Head
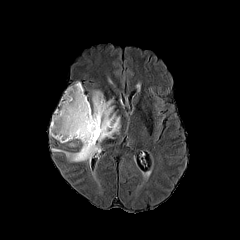
FLAIR magnetic resonance.
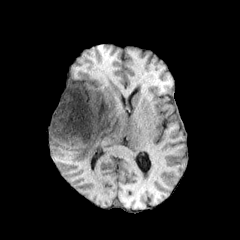
T1-weighted MR image.
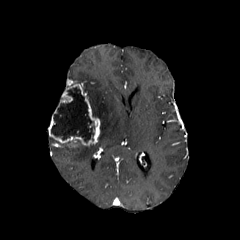
Same slice, post-contrast T1-weighted MR.
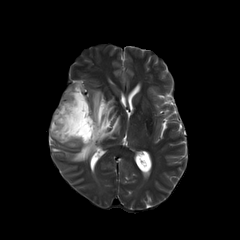
Same slice, T2-weighted MRI.
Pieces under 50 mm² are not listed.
enhancing tumor: (48, 82, 100, 147) | peritumoral edema: (52, 90, 120, 162) | necrotic tumor core: (51, 87, 94, 142)